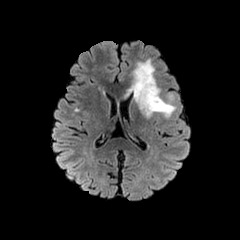
FLAIR MR.
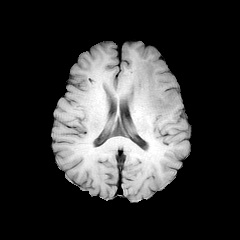
T1-weighted MRI.
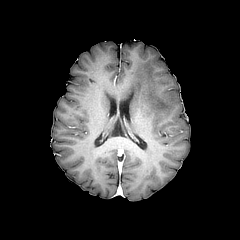
Post-contrast T1-weighted MR image of the same slice.
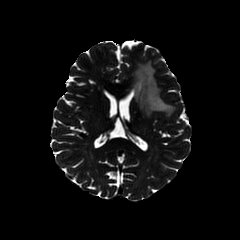
T2-weighted magnetic resonance.
Image size 240x240; Brain
The peritumoral edema appears at 123 59 175 117.